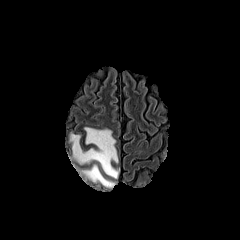
FLAIR MR.
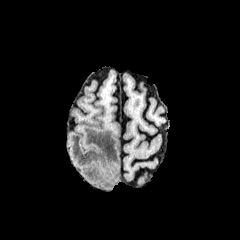
T1-weighted MRI.
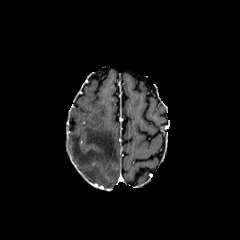
Post-contrast T1-weighted MR image.
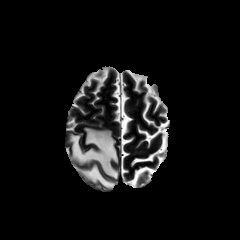
T2-weighted MRI.
Head. Image size 240x240.
peritumoral edema: rect(70, 127, 118, 179); rect(81, 164, 115, 188)